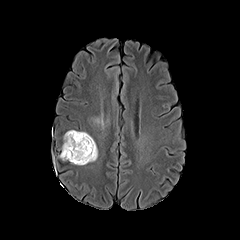
FLAIR magnetic resonance.
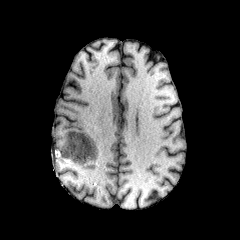
Same slice, T1-weighted MR.
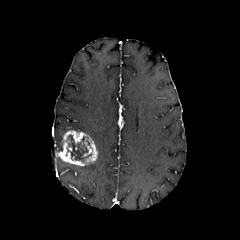
Same slice, post-contrast T1-weighted MRI.
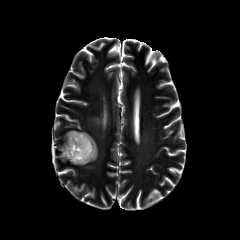
T2-weighted magnetic resonance.
Axial plane, Head, 240x240 px
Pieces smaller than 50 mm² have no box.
Annotated regions:
* peritumoral edema: {"x1": 92, "y1": 115, "x2": 104, "y2": 126}
* enhancing tumor: {"x1": 58, "y1": 130, "x2": 97, "y2": 165}
* necrotic tumor core: {"x1": 68, "y1": 135, "x2": 91, "y2": 162}